Image width 240 mm | 240x240 px
FLAIR MR.
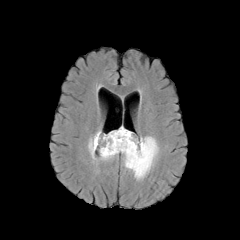
T1-weighted magnetic resonance.
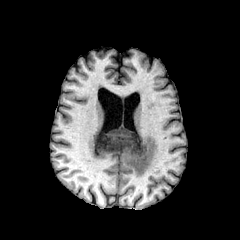
Post-contrast T1-weighted magnetic resonance.
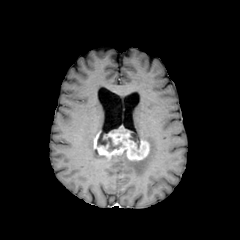
T2-weighted MRI.
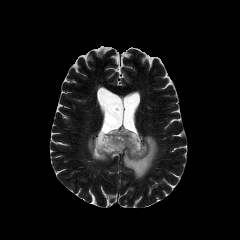
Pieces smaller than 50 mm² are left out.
<segmentation>
  <enhancing_tumor>l=93, t=126, r=149, b=160</enhancing_tumor>
  <necrotic_tumor_core>l=97, t=133, r=121, b=151; l=129, t=134, r=140, b=148</necrotic_tumor_core>
  <peritumoral_edema>l=122, t=136, r=158, b=179; l=88, t=133, r=96, b=159</peritumoral_edema>
</segmentation>